FLAIR MR.
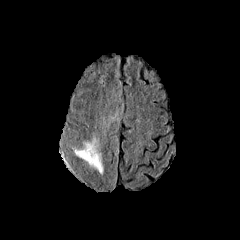
T1-weighted magnetic resonance.
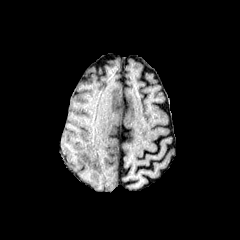
Post-contrast T1-weighted magnetic resonance.
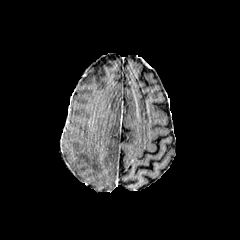
T2-weighted MR image.
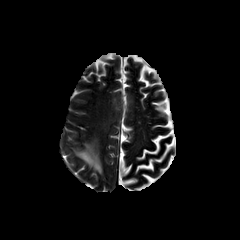
Axial plane | 240x240 | Brain
<segmentation>
  <peritumoral_edema>[x1=74, y1=139, x2=102, y2=173]</peritumoral_edema>
</segmentation>